Slice 68/155. 240x240 px. Head.
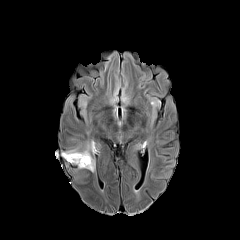
FLAIR MR image.
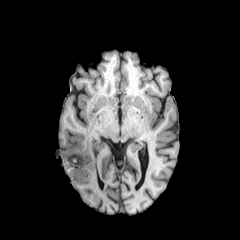
Same slice, T1-weighted MR.
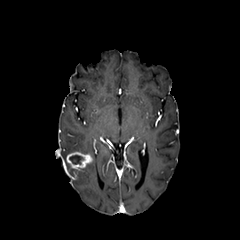
Post-contrast T1-weighted MR of the same slice.
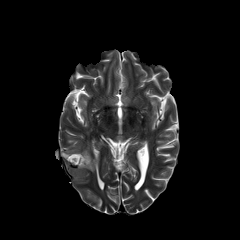
Same slice, T2-weighted magnetic resonance.
enhancing tumor: 66, 152, 92, 169
necrotic tumor core: 69, 155, 83, 164
peritumoral edema: 61, 150, 78, 158; 84, 159, 94, 171; 81, 143, 93, 153